Brain. Image width 240 mm. Image size 240x240.
FLAIR MRI.
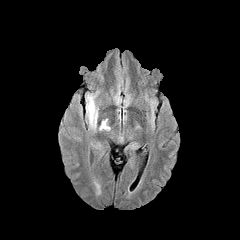
T1-weighted MR.
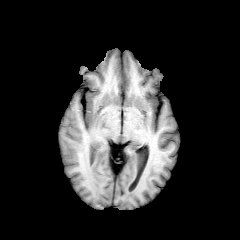
Post-contrast T1-weighted MR image.
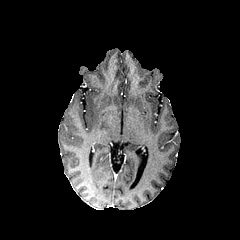
T2-weighted magnetic resonance.
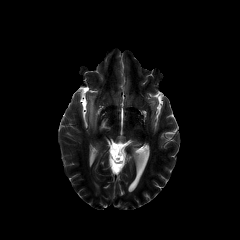
{
  "peritumoral_edema": [
    "87, 96, 97, 128",
    "100, 119, 109, 129"
  ]
}